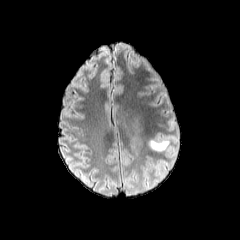
FLAIR magnetic resonance.
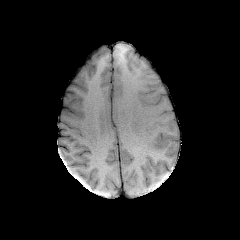
Same slice, T1-weighted MRI.
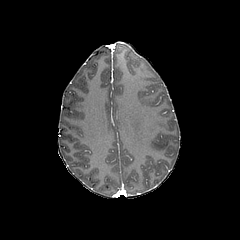
Post-contrast T1-weighted MRI.
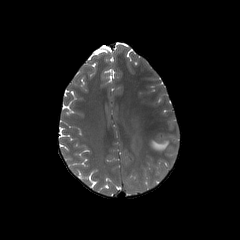
T2-weighted MRI of the same slice.
Brain. Axial plane. 240x240 px.
peritumoral edema: bounding box 148, 139, 169, 151